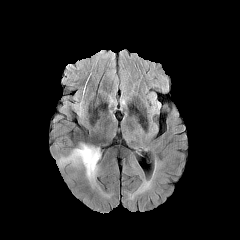
FLAIR MRI.
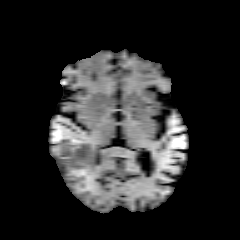
Same slice, T1-weighted MR image.
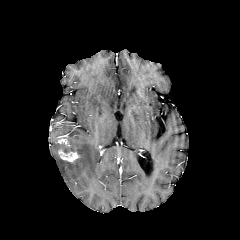
Post-contrast T1-weighted MRI of the same slice.
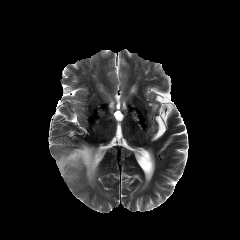
Same slice, T2-weighted MR.
Axial slice.
Segmented structures:
- enhancing tumor: (57, 138, 69, 145), (58, 149, 80, 162)
- peritumoral edema: (56, 143, 100, 184)